240x240.
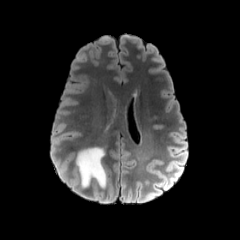
FLAIR MRI.
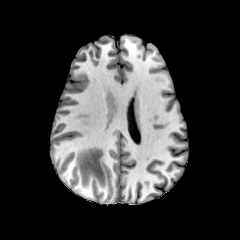
T1-weighted magnetic resonance.
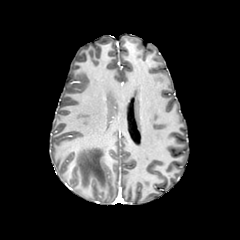
Post-contrast T1-weighted MRI.
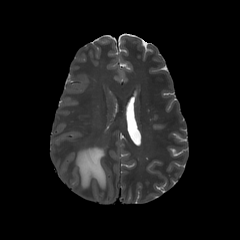
T2-weighted MR.
{
  "peritumoral_edema": [
    "bbox(77, 147, 106, 187)"
  ]
}